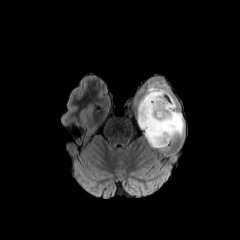
FLAIR MR.
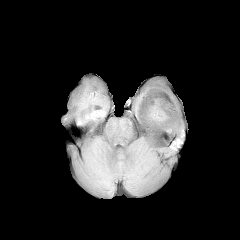
T1-weighted MR image.
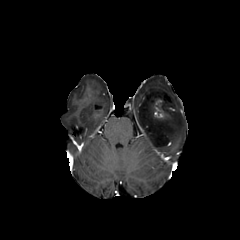
Post-contrast T1-weighted MR.
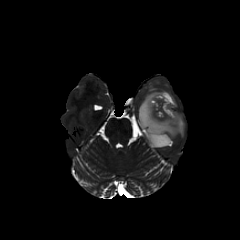
T2-weighted MR image of the same slice.
Image size 240x240 | Axial view
enhancing_tumor:
  - (left=147, top=96, right=171, bottom=120)
peritumoral_edema:
  - (left=137, top=84, right=184, bottom=149)